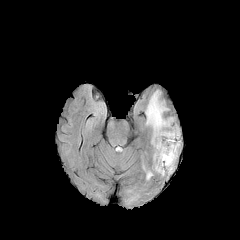
FLAIR MR image.
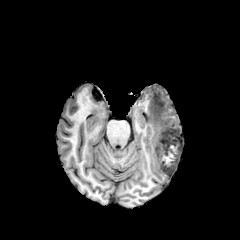
Same slice, T1-weighted magnetic resonance.
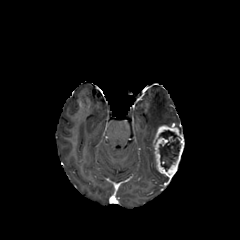
Post-contrast T1-weighted magnetic resonance.
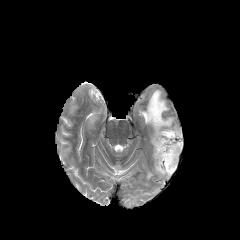
Same slice, T2-weighted magnetic resonance.
Axial slice.
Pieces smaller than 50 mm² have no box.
enhancing tumor: bounding box 153,125,183,177
necrotic tumor core: bounding box 159,130,180,171
peritumoral edema: bounding box 146,91,172,136